Image width 240 mm, 1.00 mm slice spacing
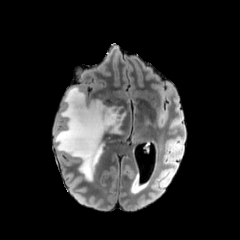
FLAIR MRI.
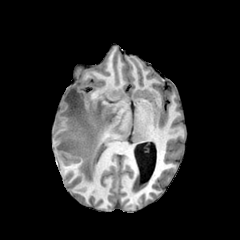
T1-weighted MR.
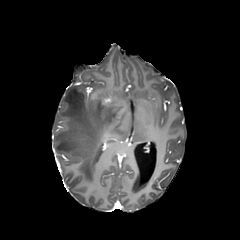
Post-contrast T1-weighted MR image.
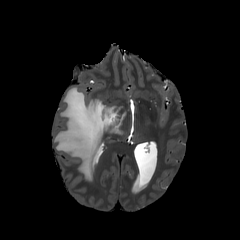
T2-weighted MRI.
Findings:
* peritumoral edema: bbox(54, 86, 125, 181)